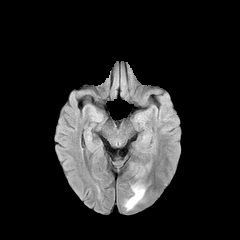
FLAIR magnetic resonance.
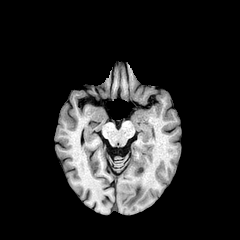
T1-weighted MR.
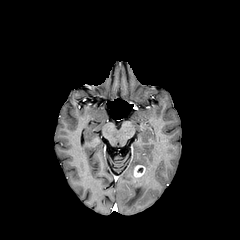
Post-contrast T1-weighted MR image of the same slice.
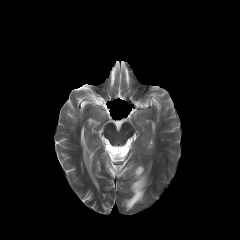
T2-weighted MR.
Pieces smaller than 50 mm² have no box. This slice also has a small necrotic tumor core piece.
peritumoral edema: [124,180,145,210] | enhancing tumor: [134,165,145,177]